FLAIR MR.
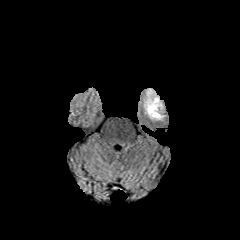
T1-weighted MR.
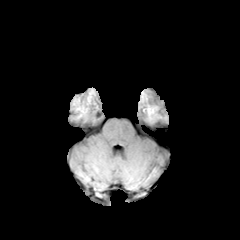
Post-contrast T1-weighted MR image.
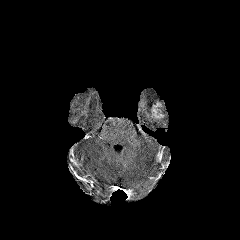
T2-weighted magnetic resonance.
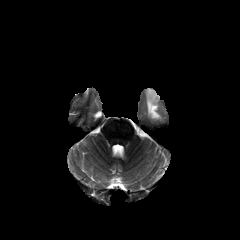
Axial plane
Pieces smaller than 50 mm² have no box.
enhancing_tumor:
  - region(151, 101, 164, 119)
peritumoral_edema:
  - region(141, 88, 164, 120)